240x240 | Image covers 240 mm x 240 mm | Slice 94/155
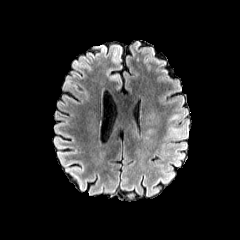
FLAIR MRI.
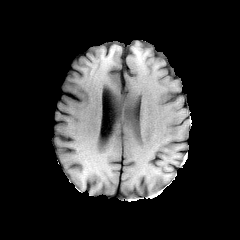
Same slice, T1-weighted MR.
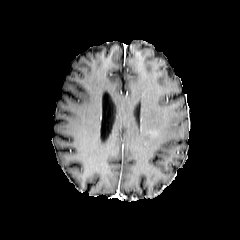
Post-contrast T1-weighted MR.
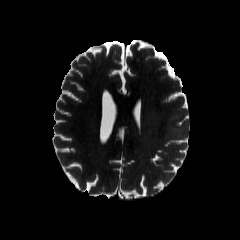
T2-weighted MRI.
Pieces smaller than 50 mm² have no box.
{"peritumoral_edema": ["[146,114,155,119]", "[167,126,183,139]"]}